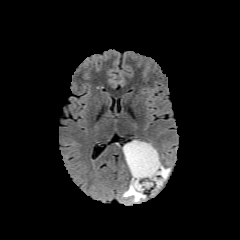
FLAIR MR.
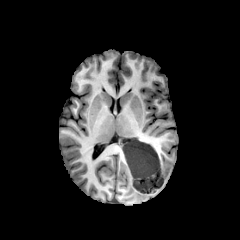
T1-weighted magnetic resonance.
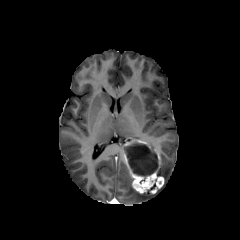
Post-contrast T1-weighted MR.
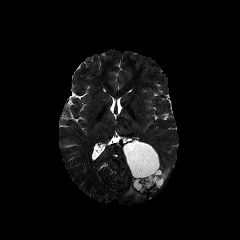
T2-weighted MR image.
Axial view. Image size 240x240.
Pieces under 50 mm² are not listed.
necrotic tumor core: rect(123, 143, 158, 176) | peritumoral edema: rect(157, 165, 170, 180); rect(123, 178, 145, 202) | enhancing tumor: rect(123, 140, 151, 148); rect(123, 149, 164, 193)